Brain. Axial view. Image size 240x240.
FLAIR MR.
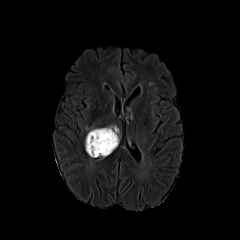
T1-weighted MR image.
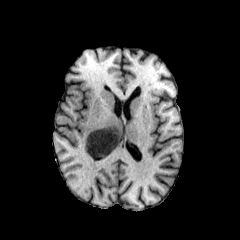
Post-contrast T1-weighted magnetic resonance.
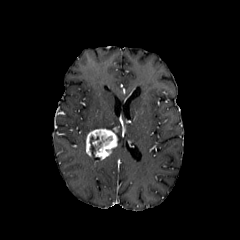
T2-weighted magnetic resonance.
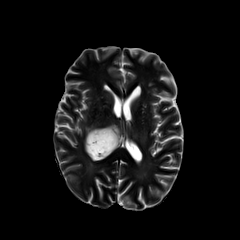
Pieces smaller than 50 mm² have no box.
<segmentation>
  <necrotic_tumor_core>(90, 136, 98, 156)</necrotic_tumor_core>
  <peritumoral_edema>(85, 126, 100, 134)</peritumoral_edema>
  <enhancing_tumor>(86, 128, 117, 158)</enhancing_tumor>
</segmentation>